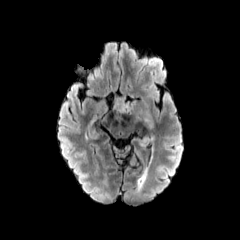
FLAIR MR.
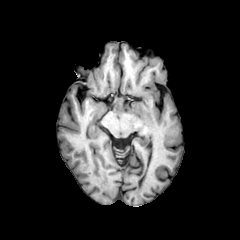
Same slice, T1-weighted magnetic resonance.
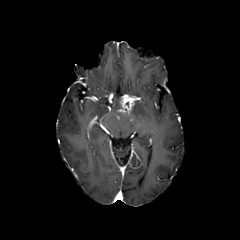
Post-contrast T1-weighted MR of the same slice.
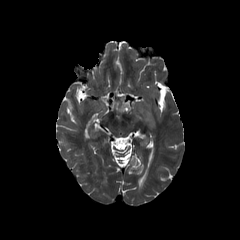
T2-weighted MR of the same slice.
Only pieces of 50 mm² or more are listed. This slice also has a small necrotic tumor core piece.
enhancing tumor — bbox(117, 94, 134, 113)
peritumoral edema — bbox(139, 137, 148, 146); bbox(133, 101, 154, 131)